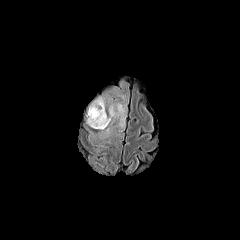
FLAIR MR.
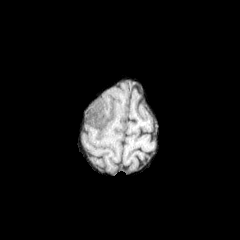
Same slice, T1-weighted MR image.
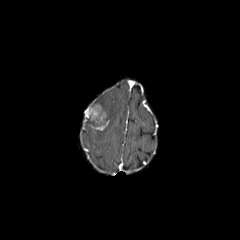
Same slice, post-contrast T1-weighted MR.
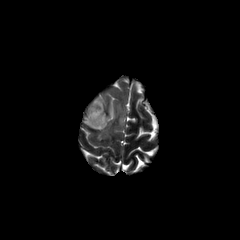
T2-weighted MR image.
Axial view
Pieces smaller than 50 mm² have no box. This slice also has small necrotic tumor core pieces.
Annotated regions:
* peritumoral edema: (x1=100, y1=95, x2=126, y2=137), (x1=91, y1=97, x2=105, y2=111)
* enhancing tumor: (x1=85, y1=104, x2=109, y2=130)